FLAIR magnetic resonance.
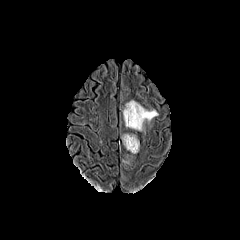
T1-weighted MR image.
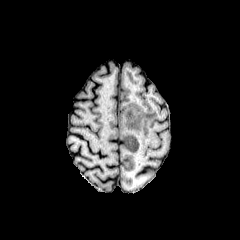
Post-contrast T1-weighted magnetic resonance.
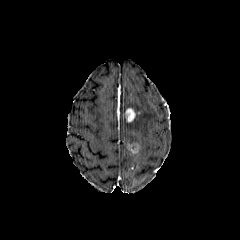
T2-weighted MR image.
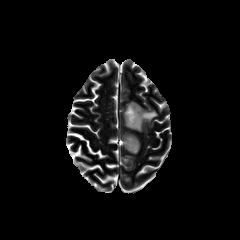
Image size 240x240; Axial plane
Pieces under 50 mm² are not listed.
enhancing_tumor:
  - [123,108,136,122]
  - [124,140,139,153]
peritumoral_edema:
  - [123,100,157,130]
  - [122,134,139,144]